Slice index 63 | Image size 240x240 | Head
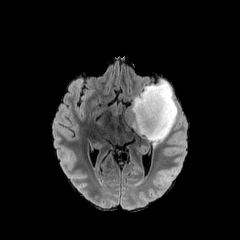
FLAIR MR image.
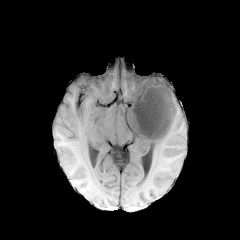
T1-weighted MRI.
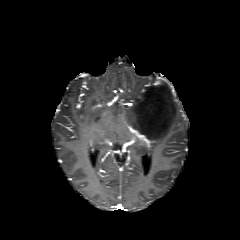
Post-contrast T1-weighted MR.
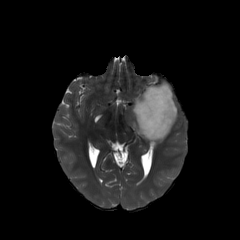
T2-weighted MR image.
<segmentation>
  <peritumoral_edema>{"x1": 125, "y1": 80, "x2": 177, "y2": 145}</peritumoral_edema>
</segmentation>